FLAIR MR.
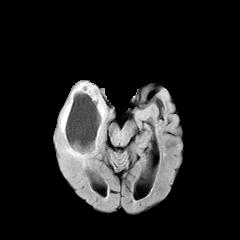
T1-weighted MR.
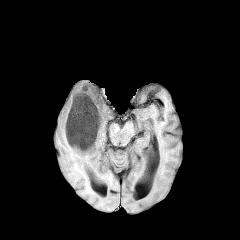
Post-contrast T1-weighted MR image.
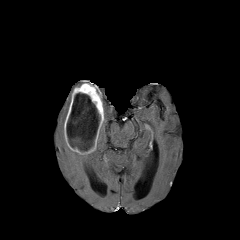
T2-weighted magnetic resonance.
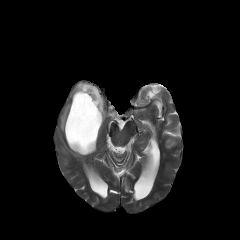
Image size 240x240
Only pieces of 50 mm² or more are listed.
The necrotic tumor core is located at bbox(66, 93, 99, 151). The largest peritumoral edema region is bounded by bbox(58, 94, 112, 163). The enhancing tumor lies within bbox(64, 81, 104, 154).